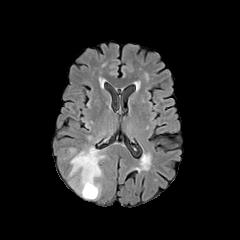
FLAIR MR image.
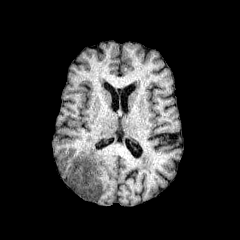
T1-weighted MR image of the same slice.
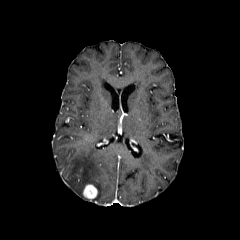
Same slice, post-contrast T1-weighted MRI.
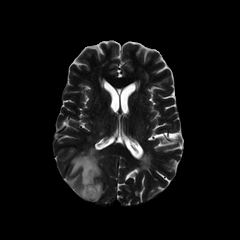
T2-weighted MRI.
Axial view, Head, 240x240
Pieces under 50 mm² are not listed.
{"enhancing_tumor": ["l=83, t=184, r=97, b=199"], "peritumoral_edema": ["l=68, t=146, r=104, b=198"]}